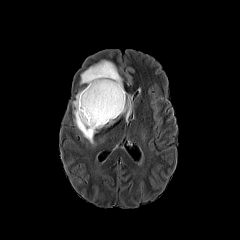
FLAIR MRI.
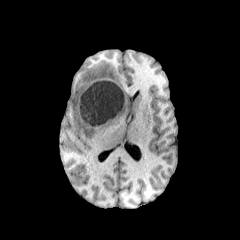
T1-weighted MR.
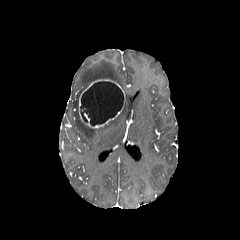
Post-contrast T1-weighted MR image.
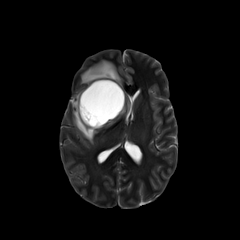
T2-weighted magnetic resonance of the same slice.
Axial slice, Image size 240x240, Brain
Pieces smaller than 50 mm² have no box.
{
  "peritumoral_edema": [
    "(left=80, top=58, right=124, bottom=90)",
    "(left=116, top=91, right=132, bottom=119)",
    "(left=72, top=89, right=101, bottom=144)"
  ],
  "necrotic_tumor_core": [
    "(left=80, top=81, right=123, bottom=126)"
  ],
  "enhancing_tumor": [
    "(left=79, top=79, right=125, bottom=128)"
  ]
}